FLAIR magnetic resonance.
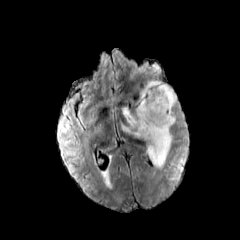
T1-weighted MRI.
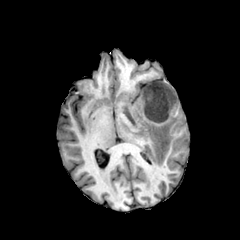
Post-contrast T1-weighted MR.
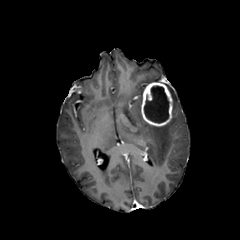
T2-weighted MRI.
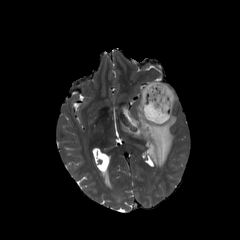
Brain. Axial view.
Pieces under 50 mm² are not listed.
The 2 largest peritumoral edema regions are bounded by box=[122, 91, 176, 167]; box=[168, 86, 176, 106]. The enhancing tumor is bounded by box=[141, 81, 172, 126]. The necrotic tumor core lies within box=[144, 86, 169, 123].